Brain | 240x240 | Axial slice | Slice 96/155
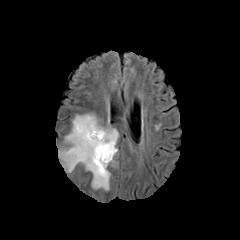
FLAIR MR image.
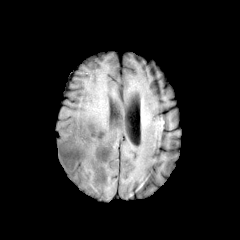
T1-weighted magnetic resonance.
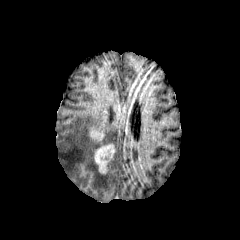
Post-contrast T1-weighted MR image of the same slice.
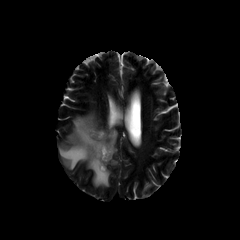
Same slice, T2-weighted MRI.
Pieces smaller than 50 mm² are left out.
enhancing tumor at bbox(94, 144, 114, 173); bbox(89, 127, 104, 140)
peritumoral edema at bbox(58, 113, 118, 190)